Slice 50 of 155 | 240x240 px
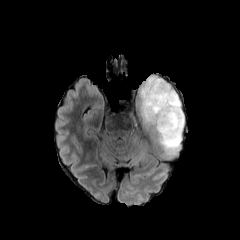
FLAIR MR.
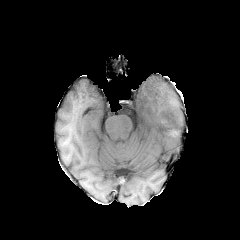
T1-weighted MRI.
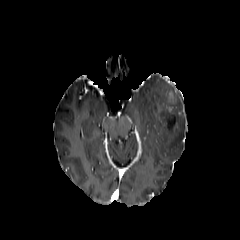
Post-contrast T1-weighted MR image.
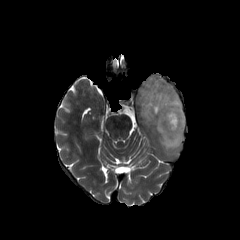
T2-weighted magnetic resonance.
enhancing tumor: region(156, 110, 177, 129) | peritumoral edema: region(137, 76, 185, 154) | necrotic tumor core: region(159, 113, 173, 126)